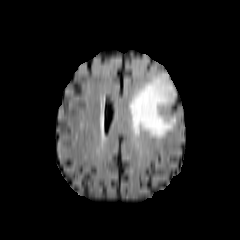
FLAIR MR.
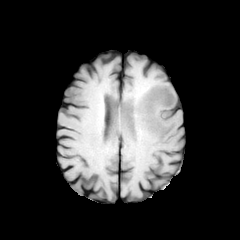
T1-weighted MR image of the same slice.
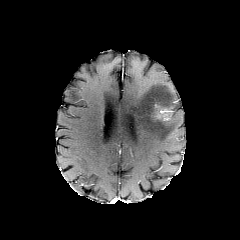
Post-contrast T1-weighted MRI.
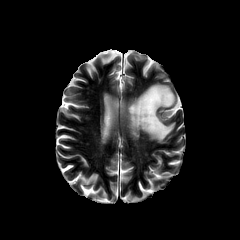
Same slice, T2-weighted MRI.
Axial plane | Brain
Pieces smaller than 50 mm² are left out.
peritumoral edema: {"x1": 130, "y1": 77, "x2": 175, "y2": 141}
enhancing tumor: {"x1": 155, "y1": 109, "x2": 171, "y2": 120}